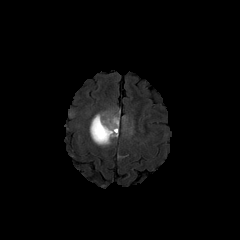
FLAIR MR.
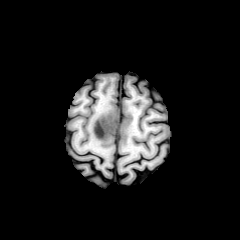
T1-weighted MRI.
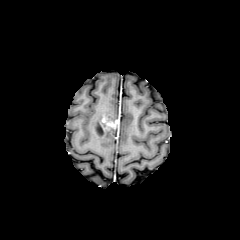
Post-contrast T1-weighted MRI.
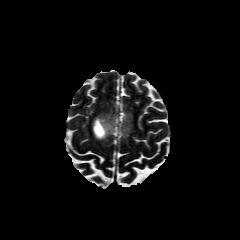
T2-weighted MRI.
Head | Axial plane
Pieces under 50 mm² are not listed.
The enhancing tumor is located at x1=93, y1=117, x2=118, y2=138. The 2 largest peritumoral edema regions appear at x1=90, y1=110, x2=118, y2=145; x1=122, y1=118, x2=133, y2=137. The necrotic tumor core is bounded by x1=95, y1=121, x2=104, y2=136.